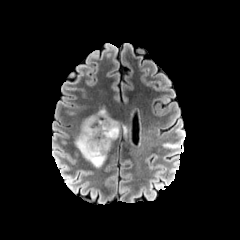
FLAIR MRI.
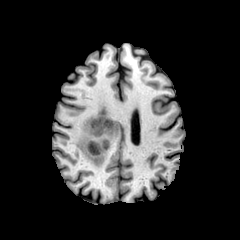
T1-weighted magnetic resonance of the same slice.
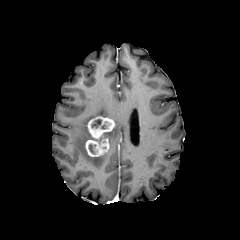
Post-contrast T1-weighted MR image.
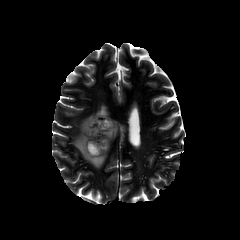
T2-weighted magnetic resonance.
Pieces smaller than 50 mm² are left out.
necrotic_tumor_core:
  - x1=92, y1=119, x2=101, y2=127
enhancing_tumor:
  - x1=85, y1=116, x2=115, y2=156
peritumoral_edema:
  - x1=75, y1=110, x2=109, y2=167
  - x1=104, y1=120, x2=119, y2=143